Brain, Slice index 77
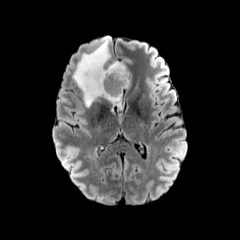
FLAIR MR.
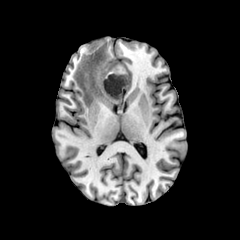
T1-weighted magnetic resonance.
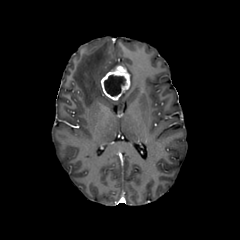
Same slice, post-contrast T1-weighted MR.
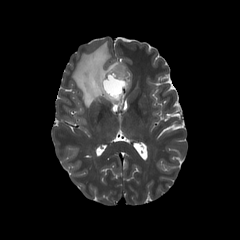
T2-weighted magnetic resonance.
<segmentation>
  <enhancing_tumor>(101, 65, 130, 100)</enhancing_tumor>
  <peritumoral_edema>(73, 38, 123, 108)</peritumoral_edema>
  <necrotic_tumor_core>(104, 75, 125, 96)</necrotic_tumor_core>
</segmentation>